Axial view | Image size 240x240 | Slice 80 of 155
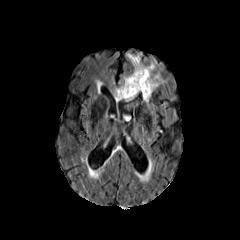
FLAIR MR image.
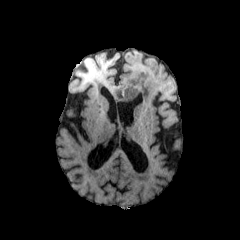
Same slice, T1-weighted MR.
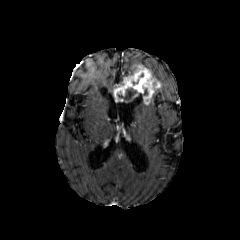
Post-contrast T1-weighted MRI of the same slice.
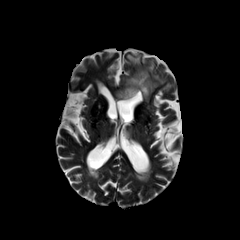
T2-weighted magnetic resonance.
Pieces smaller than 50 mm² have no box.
The enhancing tumor is bounded by 113 64 160 104. The largest necrotic tumor core region appears at 118 88 136 102. The 2 largest peritumoral edema regions are located at 146 62 164 83, 127 53 141 73.